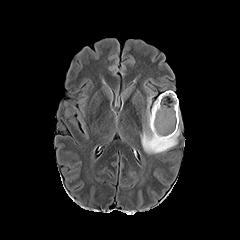
FLAIR MR.
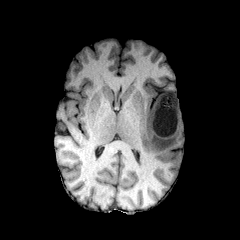
T1-weighted MR of the same slice.
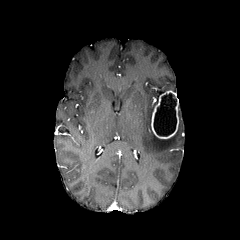
Post-contrast T1-weighted MRI.
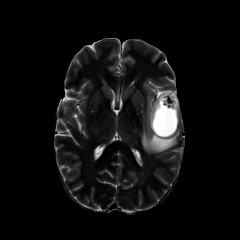
T2-weighted MR image.
Axial view | Brain
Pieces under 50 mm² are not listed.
enhancing_tumor:
  - x1=151, y1=90, x2=178, y2=138
peritumoral_edema:
  - x1=141, y1=96, x2=180, y2=153
necrotic_tumor_core:
  - x1=153, y1=93, x2=176, y2=136